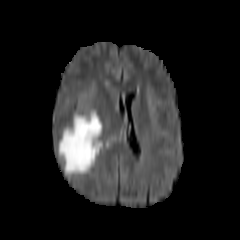
FLAIR MRI.
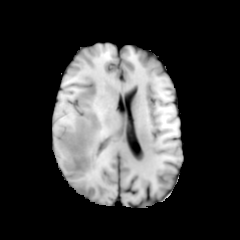
T1-weighted magnetic resonance of the same slice.
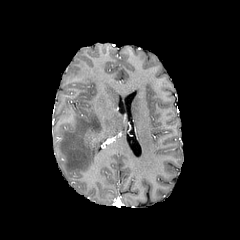
Same slice, post-contrast T1-weighted MRI.
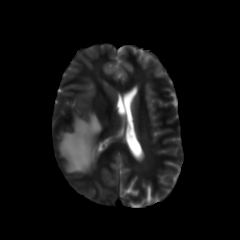
T2-weighted MR image.
Axial plane; Brain
peritumoral edema at region(57, 109, 102, 174)